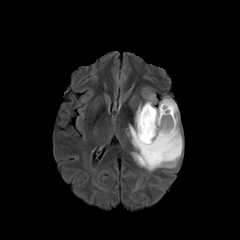
FLAIR MR.
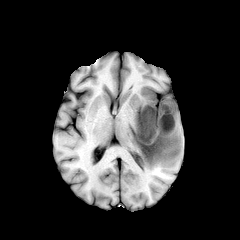
Same slice, T1-weighted MR.
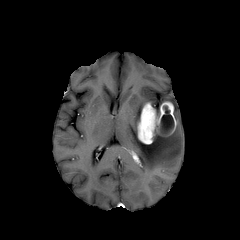
Post-contrast T1-weighted MR.
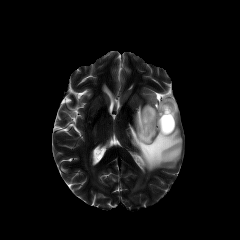
Same slice, T2-weighted magnetic resonance.
240x240 px. Axial plane.
The necrotic tumor core lies within {"x1": 160, "y1": 106, "x2": 174, "y2": 133}. The enhancing tumor appears at {"x1": 137, "y1": 101, "x2": 176, "y2": 144}. 2 peritumoral edema regions appear at {"x1": 127, "y1": 97, "x2": 182, "y2": 171}, {"x1": 146, "y1": 94, "x2": 155, "y2": 107}.